Axial view; Slice 40/155
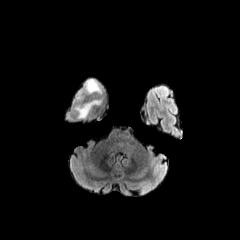
FLAIR MR image.
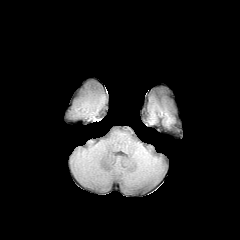
T1-weighted MR.
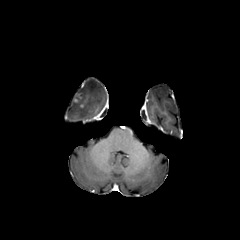
Post-contrast T1-weighted magnetic resonance.
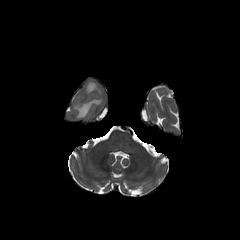
Same slice, T2-weighted MR image.
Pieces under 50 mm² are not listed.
• enhancing tumor: rect(74, 94, 81, 102)
• peritumoral edema: rect(73, 89, 103, 118); rect(85, 79, 102, 94)